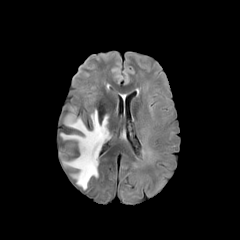
FLAIR MRI.
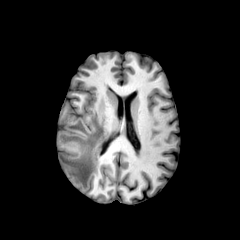
T1-weighted magnetic resonance.
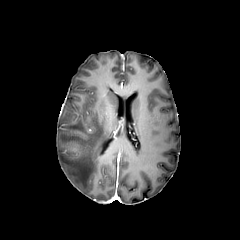
Post-contrast T1-weighted MR.
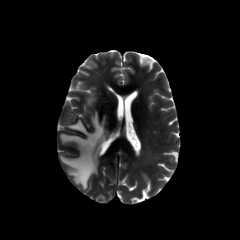
T2-weighted magnetic resonance.
peritumoral edema: (left=59, top=111, right=109, bottom=189)